Slice 55 of 155 | Axial view
FLAIR MR.
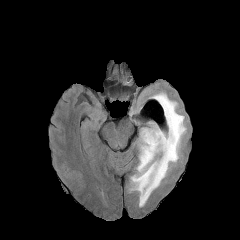
T1-weighted MR.
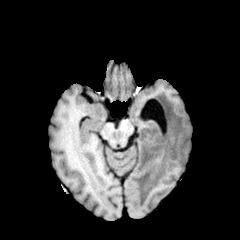
Post-contrast T1-weighted MR image.
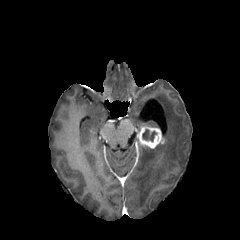
T2-weighted MRI.
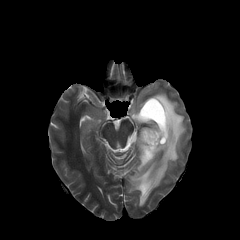
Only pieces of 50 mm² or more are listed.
The necrotic tumor core lies within box=[142, 129, 156, 141]. The largest peritumoral edema region appears at box=[128, 92, 186, 206]. The enhancing tumor is at box=[138, 127, 164, 148].